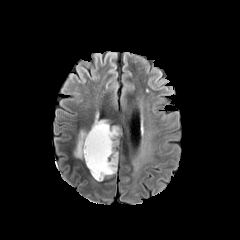
FLAIR MR image.
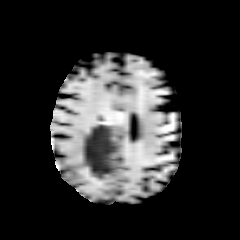
T1-weighted MR image.
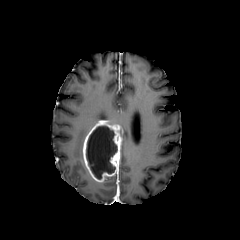
Post-contrast T1-weighted magnetic resonance.
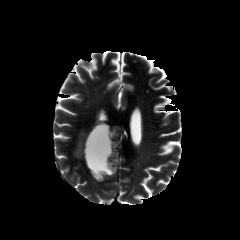
T2-weighted magnetic resonance of the same slice.
Head.
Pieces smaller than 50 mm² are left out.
<segmentation>
  <peritumoral_edema>x1=74, y1=131, x2=87, y2=157</peritumoral_edema>
  <necrotic_tumor_core>x1=86, y1=126, x2=117, y2=179</necrotic_tumor_core>
  <enhancing_tumor>x1=83, y1=120, x2=121, y2=182</enhancing_tumor>
</segmentation>